Slice 80 of 155. Axial plane. Head.
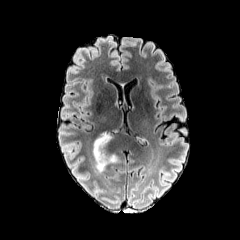
FLAIR MR.
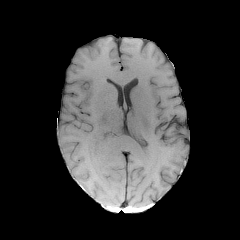
Same slice, T1-weighted magnetic resonance.
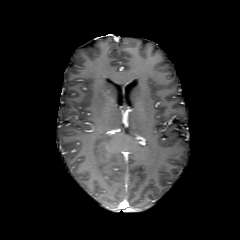
Post-contrast T1-weighted magnetic resonance.
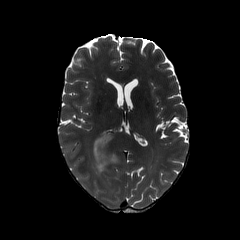
Same slice, T2-weighted MRI.
Segmented structures:
- peritumoral edema: [93, 132, 117, 172]